FLAIR MR.
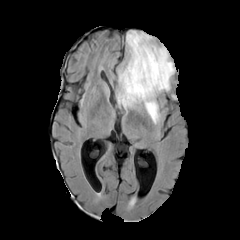
T1-weighted MR image.
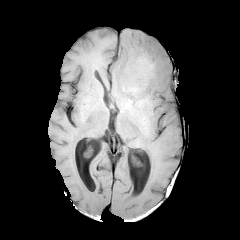
Post-contrast T1-weighted MR.
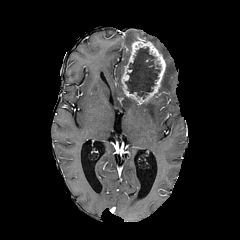
T2-weighted MRI.
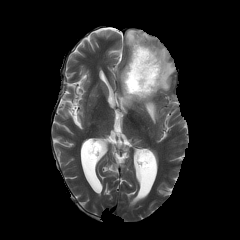
240x240 px; Axial view
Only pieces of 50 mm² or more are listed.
The largest enhancing tumor region is bounded by box=[121, 34, 166, 104]. The necrotic tumor core lies within box=[125, 47, 160, 98]. 3 peritumoral edema regions are bounded by box=[143, 96, 159, 123]; box=[124, 30, 175, 95]; box=[116, 66, 137, 108].